Slice 65/155
FLAIR MR image.
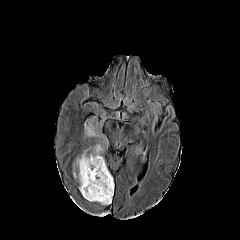
T1-weighted MR image.
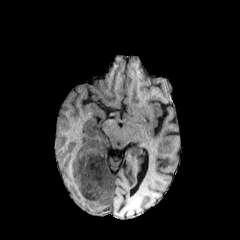
Post-contrast T1-weighted MRI.
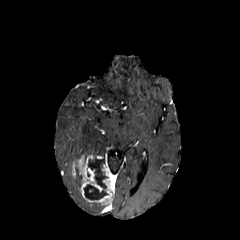
T2-weighted MR.
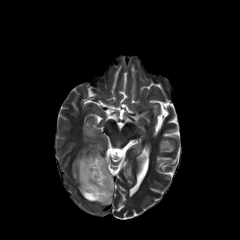
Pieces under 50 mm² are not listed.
- peritumoral edema: box(85, 124, 100, 137); box(92, 144, 102, 154)
- necrotic tumor core: box(88, 158, 107, 188); box(84, 184, 107, 199)
- enhancing tumor: box(72, 153, 114, 205)